FLAIR magnetic resonance.
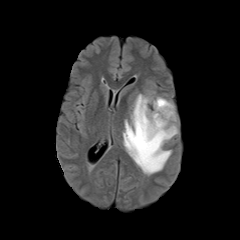
T1-weighted MR image.
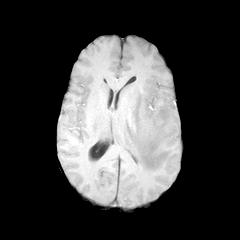
Post-contrast T1-weighted MR image.
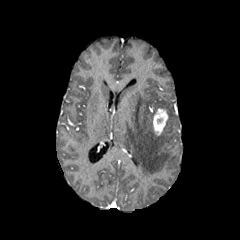
T2-weighted MR image.
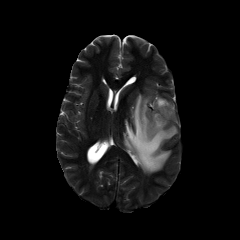
Brain, Axial view, 240x240
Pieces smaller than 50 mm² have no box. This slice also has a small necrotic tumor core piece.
enhancing tumor: left=153, top=109, right=168, bottom=135
peritumoral edema: left=122, top=90, right=178, bottom=174